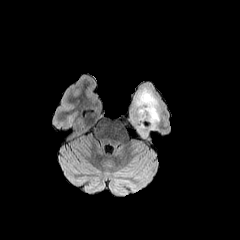
FLAIR MR.
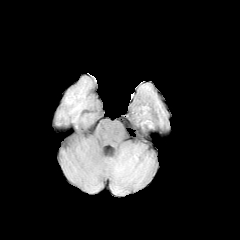
T1-weighted MRI.
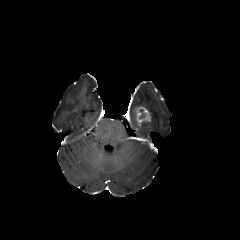
Same slice, post-contrast T1-weighted magnetic resonance.
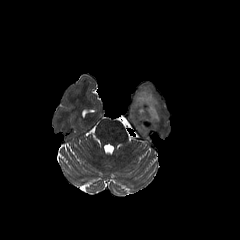
T2-weighted magnetic resonance of the same slice.
Axial plane; 240x240
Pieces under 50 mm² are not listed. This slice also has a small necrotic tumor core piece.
enhancing tumor = rect(134, 106, 153, 125)
peritumoral edema = rect(133, 88, 159, 128)